Head | Slice 34 of 155
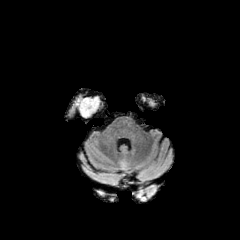
FLAIR MR.
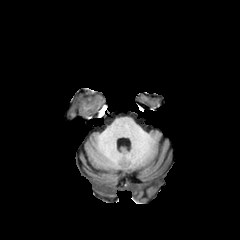
Same slice, T1-weighted MR image.
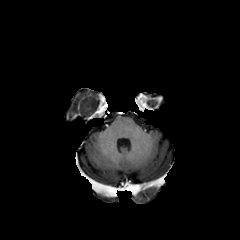
Same slice, post-contrast T1-weighted magnetic resonance.
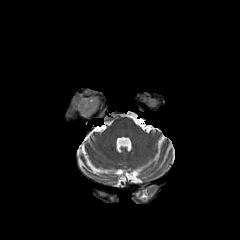
T2-weighted magnetic resonance.
The peritumoral edema is bounded by bbox=[72, 97, 98, 117].